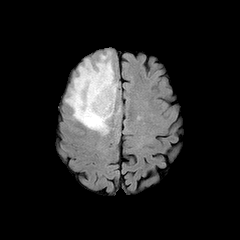
FLAIR MRI.
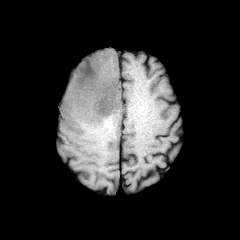
T1-weighted MR.
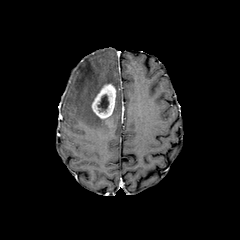
Post-contrast T1-weighted magnetic resonance of the same slice.
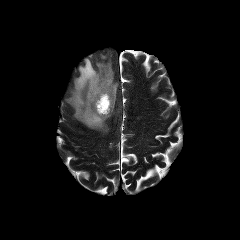
T2-weighted magnetic resonance.
Image size 240x240; Axial slice; Head
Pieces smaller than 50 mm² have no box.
peritumoral edema at <box>66,52,118,134</box>
enhancing tumor at <box>92,84,116,118</box>
necrotic tumor core at <box>98,95,108,111</box>